Slice 58/155. Image width 240 mm.
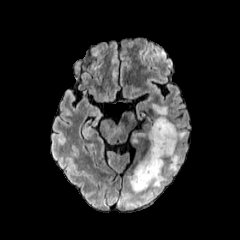
FLAIR MRI.
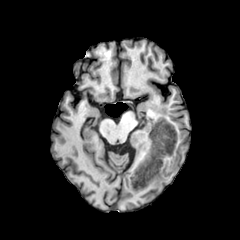
T1-weighted MRI.
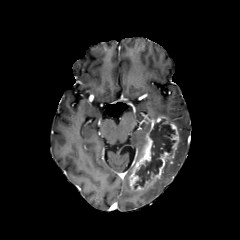
Post-contrast T1-weighted MR.
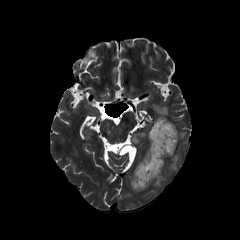
T2-weighted MRI.
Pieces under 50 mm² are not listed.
peritumoral edema: 152, 104, 167, 116; 168, 150, 182, 172; 151, 173, 166, 187; 179, 130, 187, 140
necrotic tumor core: 134, 119, 175, 188
enhancing tumor: 129, 116, 179, 190